FLAIR MR image.
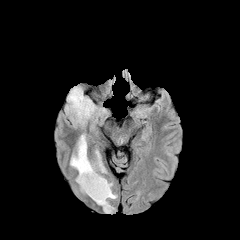
T1-weighted MR image.
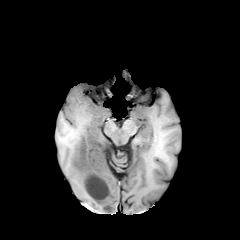
Post-contrast T1-weighted MR image.
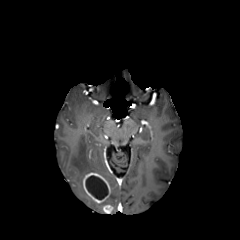
T2-weighted MRI.
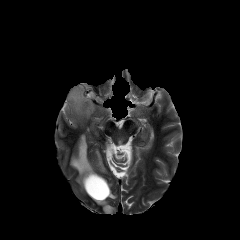
Head; Axial plane
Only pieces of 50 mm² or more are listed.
Findings:
- enhancing tumor: region(103, 205, 113, 213); region(83, 172, 110, 203)
- peritumoral edema: region(98, 182, 117, 206); region(66, 86, 96, 123); region(70, 134, 106, 192)
- necrotic tumor core: region(86, 175, 108, 199)